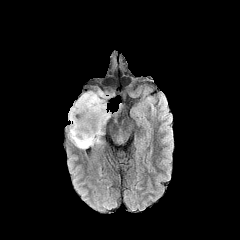
FLAIR MR.
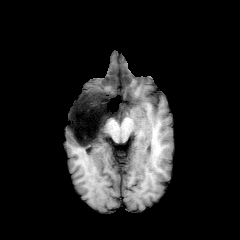
Same slice, T1-weighted MRI.
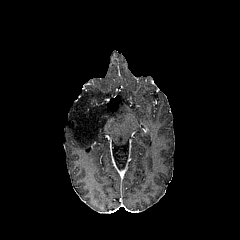
Same slice, post-contrast T1-weighted MR image.
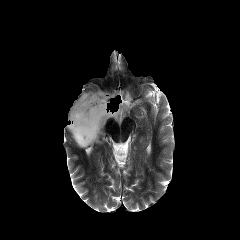
T2-weighted magnetic resonance.
Head; Axial plane
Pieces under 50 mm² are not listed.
peritumoral edema: bbox(68, 90, 111, 149)